Head. Slice 67 of 155. Image size 240x240.
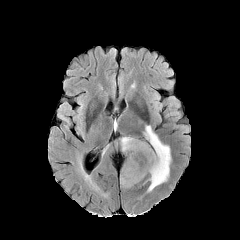
FLAIR MR.
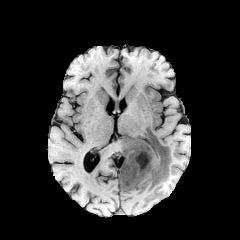
T1-weighted magnetic resonance.
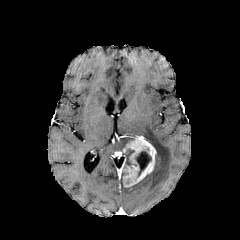
Post-contrast T1-weighted magnetic resonance of the same slice.
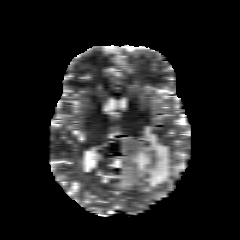
Same slice, T2-weighted magnetic resonance.
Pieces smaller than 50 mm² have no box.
necrotic tumor core: bounding box bbox=[135, 151, 151, 176]
peritumoral edema: bounding box bbox=[143, 125, 171, 192]; bbox=[124, 149, 134, 165]; bbox=[121, 137, 134, 150]
enhancing tumor: bounding box bbox=[121, 136, 156, 187]